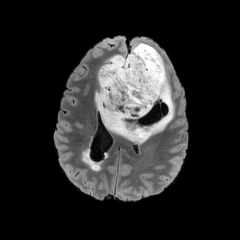
FLAIR MR image.
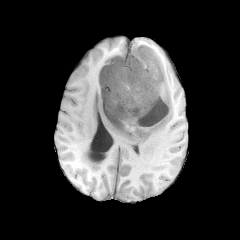
Same slice, T1-weighted magnetic resonance.
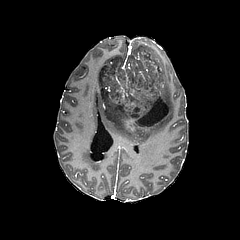
Same slice, post-contrast T1-weighted MR.
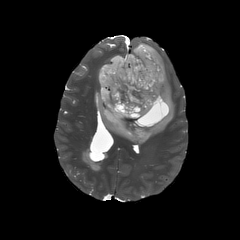
T2-weighted MRI.
Brain. 240x240 px.
Annotated regions:
* necrotic tumor core: box(100, 53, 170, 127)
* peritumoral edema: box(95, 42, 174, 142)